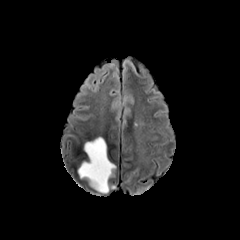
FLAIR magnetic resonance.
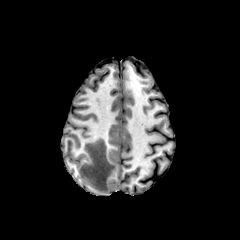
T1-weighted MRI of the same slice.
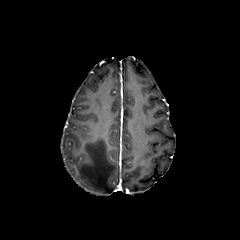
Post-contrast T1-weighted magnetic resonance of the same slice.
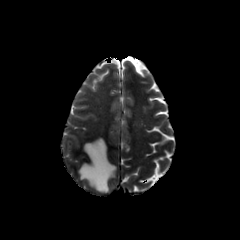
T2-weighted MR image.
peritumoral edema: region(78, 137, 115, 193)